Axial slice, Image size 240x240, Head, Slice 117/155
FLAIR MRI.
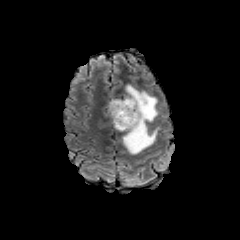
T1-weighted MR.
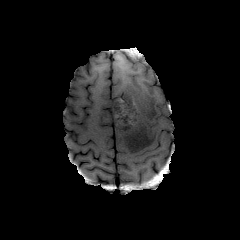
Post-contrast T1-weighted magnetic resonance.
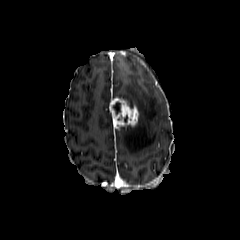
T2-weighted magnetic resonance.
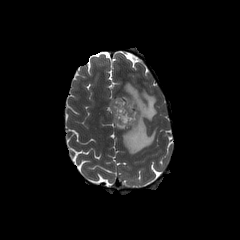
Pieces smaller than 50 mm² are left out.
peritumoral_edema:
  - left=119, top=84, right=158, bottom=154
necrotic_tumor_core:
  - left=113, top=102, right=120, bottom=114
enhancing_tumor:
  - left=109, top=97, right=139, bottom=129